FLAIR MR image.
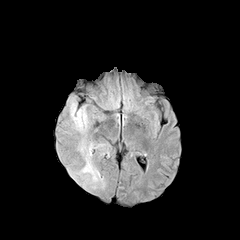
T1-weighted magnetic resonance.
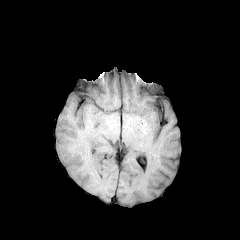
Post-contrast T1-weighted MR image.
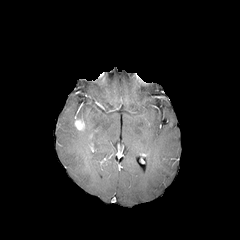
T2-weighted MR.
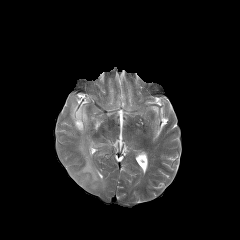
Head; Axial plane
{
  "enhancing_tumor": [
    "[74,119,85,130]"
  ],
  "peritumoral_edema": [
    "[70,100,105,189]"
  ]
}